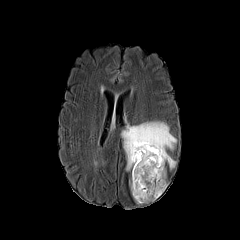
FLAIR MRI.
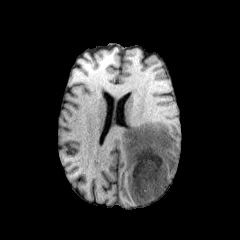
T1-weighted MRI.
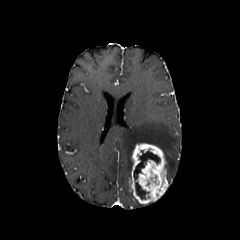
Post-contrast T1-weighted MR.
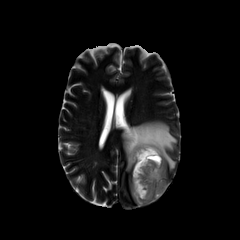
T2-weighted MRI of the same slice.
240x240
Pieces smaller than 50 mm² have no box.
The largest peritumoral edema region appears at (121,121,176,171). 2 necrotic tumor core regions are bounded by (135,182,148,199), (133,150,160,180). The enhancing tumor is located at (129,143,168,204).